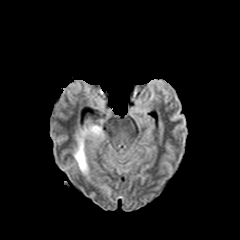
FLAIR magnetic resonance.
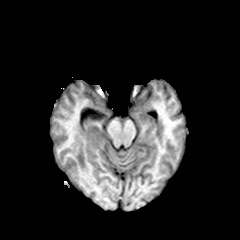
T1-weighted MR.
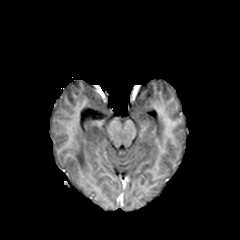
Post-contrast T1-weighted MR image.
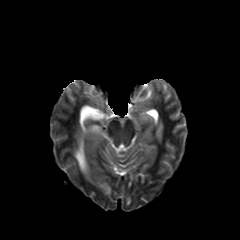
Same slice, T2-weighted magnetic resonance.
240x240 px, Head
<segmentation>
  <peritumoral_edema>(74,138,87,173), (83,125,102,135)</peritumoral_edema>
</segmentation>